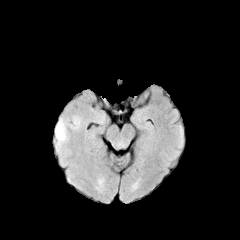
FLAIR MR.
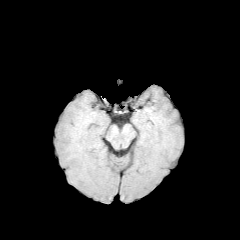
T1-weighted MR.
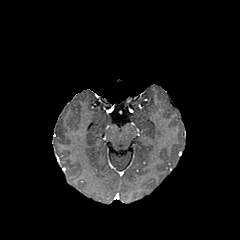
Post-contrast T1-weighted MR.
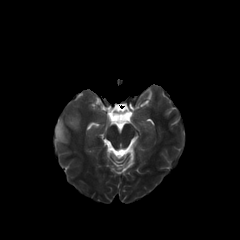
T2-weighted magnetic resonance.
Head, Axial slice, 240x240 px
The peritumoral edema is bounded by left=55, top=115, right=81, bottom=153.